Slice 126 of 155; Head
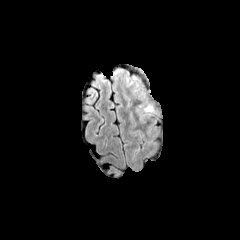
FLAIR MR image.
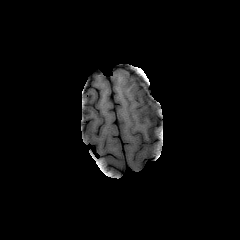
T1-weighted MR image.
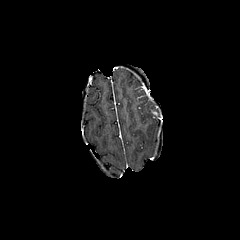
Same slice, post-contrast T1-weighted MRI.
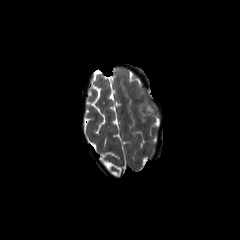
T2-weighted MR.
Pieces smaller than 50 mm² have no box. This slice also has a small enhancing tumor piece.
Annotated regions:
- peritumoral edema: 120,71,155,120